FLAIR magnetic resonance.
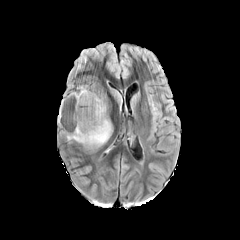
T1-weighted MRI.
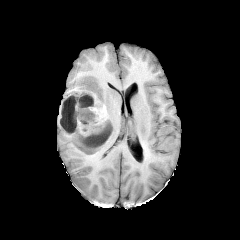
Post-contrast T1-weighted MR image.
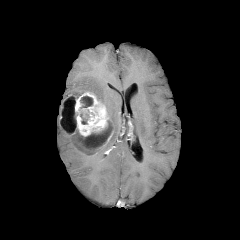
T2-weighted MRI.
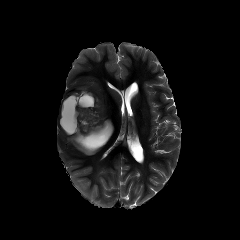
Head
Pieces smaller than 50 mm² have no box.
enhancing tumor: bounding box 59 92 112 155
peritumoral edema: bounding box 92 85 110 112, 73 87 88 96
necrotic tumor core: bounding box 81 124 110 149, 80 96 93 108, 61 97 78 132